FLAIR MR image.
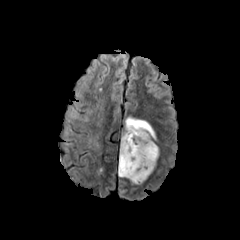
T1-weighted magnetic resonance.
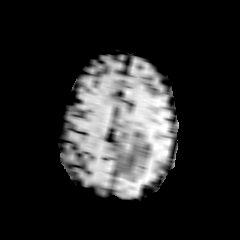
Post-contrast T1-weighted magnetic resonance.
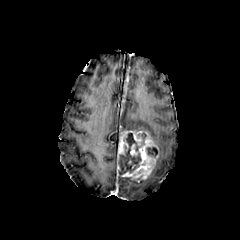
T2-weighted MR.
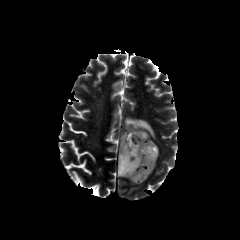
Head. 240x240.
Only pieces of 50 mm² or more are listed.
{"enhancing_tumor": [{"x1": 117, "y1": 130, "x2": 158, "y2": 182}], "peritumoral_edema": [{"x1": 124, "y1": 117, "x2": 156, "y2": 140}], "necrotic_tumor_core": [{"x1": 147, "y1": 147, "x2": 157, "y2": 157}, {"x1": 119, "y1": 133, "x2": 141, "y2": 174}]}